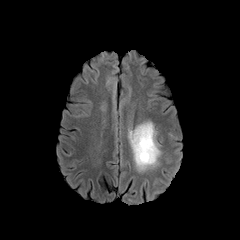
FLAIR MRI.
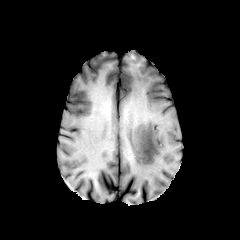
T1-weighted MR image of the same slice.
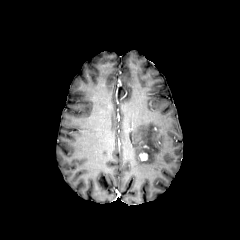
Post-contrast T1-weighted MR.
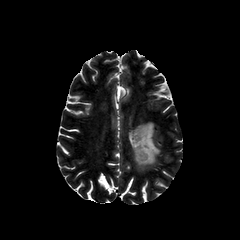
T2-weighted MRI of the same slice.
240x240 px; Axial plane
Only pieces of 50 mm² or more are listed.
enhancing tumor: rect(139, 153, 147, 160) | peritumoral edema: rect(129, 122, 160, 170)